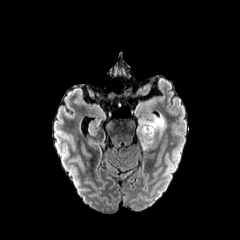
FLAIR MRI.
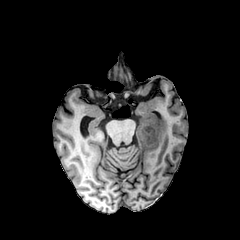
T1-weighted MR image.
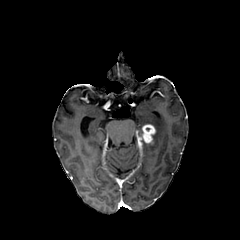
Post-contrast T1-weighted MR.
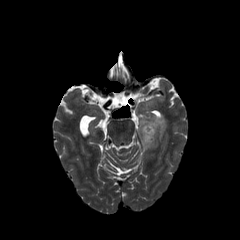
T2-weighted MR image of the same slice.
Brain
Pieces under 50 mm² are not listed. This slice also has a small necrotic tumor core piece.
<segmentation>
  <enhancing_tumor><box>137,124,155,146</box></enhancing_tumor>
  <peritumoral_edema><box>137,114,166,150</box></peritumoral_edema>
</segmentation>